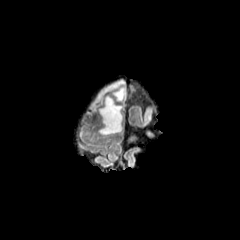
FLAIR MR.
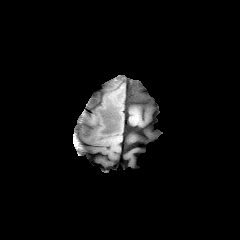
T1-weighted MR image.
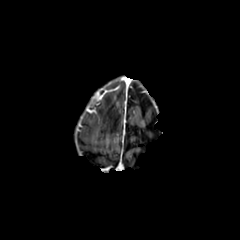
Post-contrast T1-weighted MR.
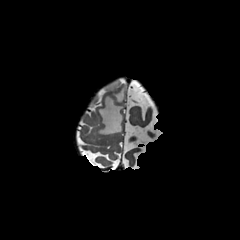
Same slice, T2-weighted MR image.
Brain, Axial plane
The peritumoral edema is bounded by {"x1": 93, "y1": 80, "x2": 125, "y2": 134}.